FLAIR MR.
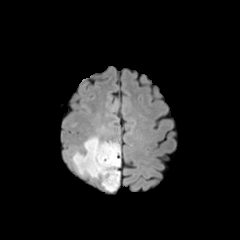
T1-weighted MR image.
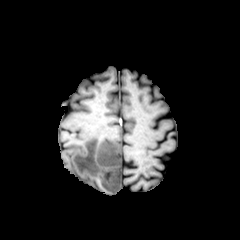
Post-contrast T1-weighted magnetic resonance.
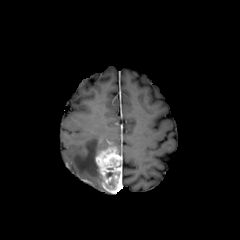
T2-weighted MR image.
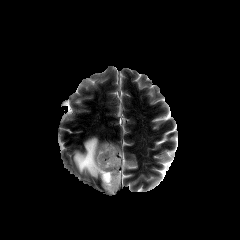
240x240
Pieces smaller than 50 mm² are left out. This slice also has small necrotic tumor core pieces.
enhancing_tumor:
  - 95:146:121:193
peritumoral_edema:
  - 73:137:120:178